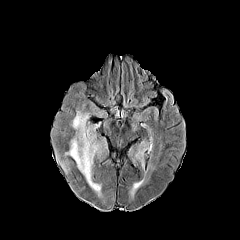
FLAIR magnetic resonance.
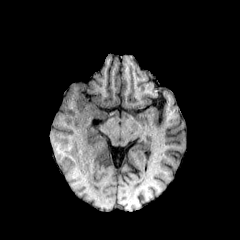
Same slice, T1-weighted MR image.
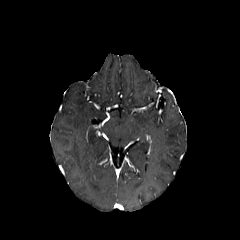
Same slice, post-contrast T1-weighted MRI.
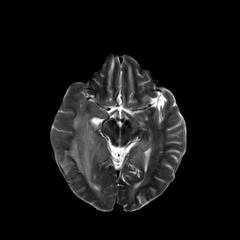
T2-weighted MRI.
Brain.
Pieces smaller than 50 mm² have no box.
peritumoral edema: box=[57, 152, 79, 179]; box=[67, 112, 106, 195]